FLAIR magnetic resonance.
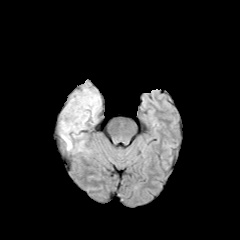
T1-weighted MR image.
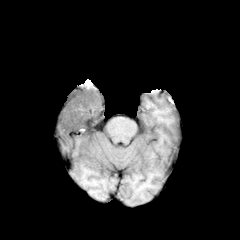
Post-contrast T1-weighted magnetic resonance.
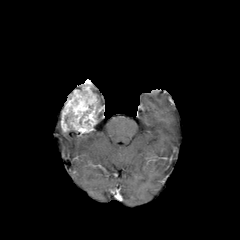
T2-weighted MR image.
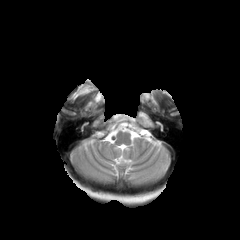
Axial plane
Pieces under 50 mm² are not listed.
Annotated regions:
* peritumoral edema: l=74, t=140, r=87, b=151
* enhancing tumor: l=61, t=84, r=101, b=135